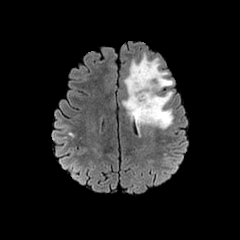
FLAIR MRI.
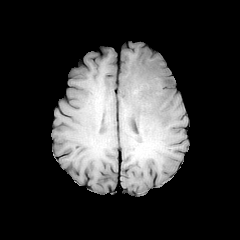
T1-weighted MR image.
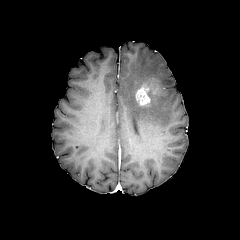
Same slice, post-contrast T1-weighted magnetic resonance.
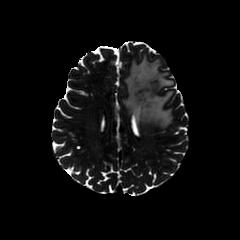
T2-weighted MRI.
Brain
{"peritumoral_edema": ["[122, 55, 173, 129]"], "enhancing_tumor": ["[135, 84, 150, 105]"]}